Axial plane; Head
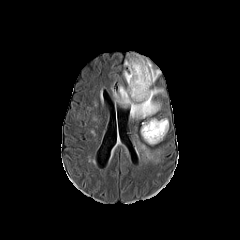
FLAIR magnetic resonance.
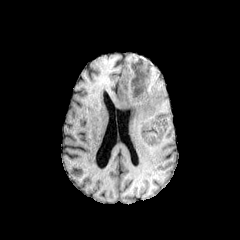
T1-weighted MR image of the same slice.
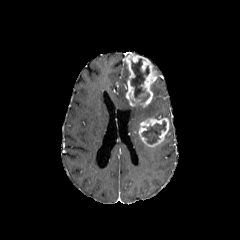
Post-contrast T1-weighted MRI of the same slice.
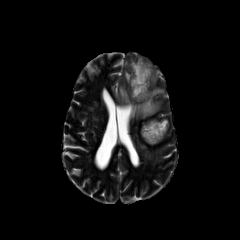
Same slice, T2-weighted magnetic resonance.
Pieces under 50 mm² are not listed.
{
  "enhancing_tumor": [
    "(x1=139, y1=118, x2=169, y2=146)",
    "(x1=125, y1=53, x2=158, y2=107)"
  ],
  "peritumoral_edema": [
    "(x1=136, y1=140, x2=162, y2=161)",
    "(x1=130, y1=86, x2=164, y2=118)",
    "(x1=113, y1=85, x2=128, y2=107)"
  ],
  "necrotic_tumor_core": [
    "(x1=142, y1=121, x2=166, y2=144)",
    "(x1=130, y1=58, x2=149, y2=97)"
  ]
}